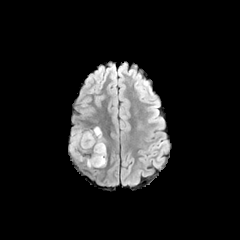
FLAIR MRI.
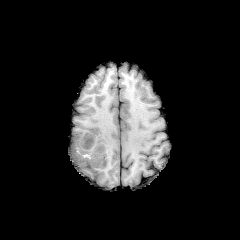
T1-weighted MR image of the same slice.
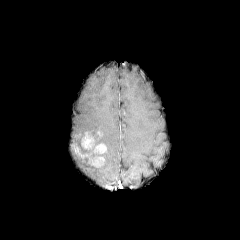
Same slice, post-contrast T1-weighted MR image.
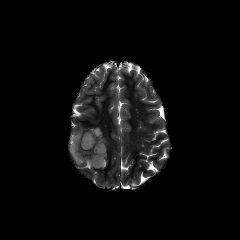
T2-weighted MR.
Axial plane
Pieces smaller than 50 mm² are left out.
peritumoral edema at left=71, top=131, right=84, bottom=150; left=69, top=146, right=83, bottom=163; left=87, top=127, right=103, bottom=144; left=83, top=149, right=95, bottom=167
enhancing tumor at left=71, top=144, right=87, bottom=158; left=81, top=132, right=106, bottom=167